Brain. Slice 109/155. 240x240 px. Axial view.
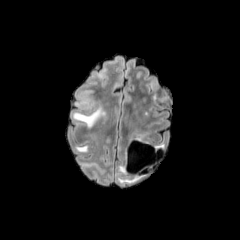
FLAIR MRI.
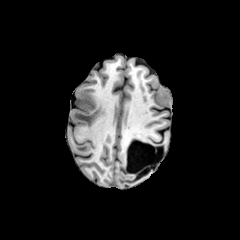
T1-weighted MRI of the same slice.
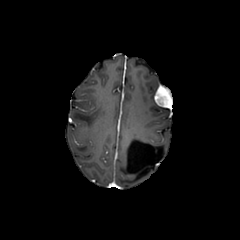
Same slice, post-contrast T1-weighted magnetic resonance.
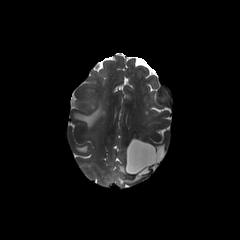
T2-weighted MR image.
Annotated regions:
- peritumoral edema: [76,146,87,151], [75,92,94,109], [72,107,104,127]